FLAIR magnetic resonance.
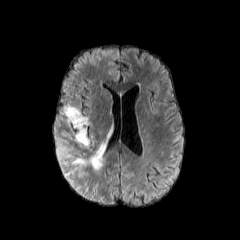
T1-weighted MR.
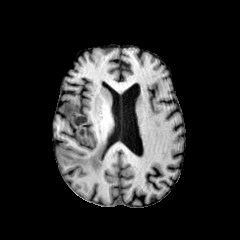
Post-contrast T1-weighted MRI.
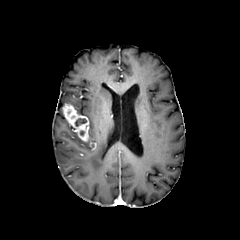
T2-weighted MR.
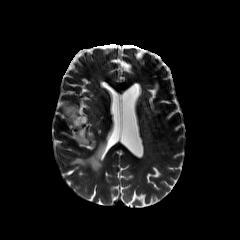
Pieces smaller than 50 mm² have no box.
The largest necrotic tumor core region appears at x1=75 y1=118 x2=86 y2=126. The enhancing tumor is bounded by x1=62 y1=104 x2=88 y2=141. The 2 largest peritumoral edema regions are located at x1=75 y1=132 x2=89 y2=145, x1=72 y1=142 x2=105 y2=171.